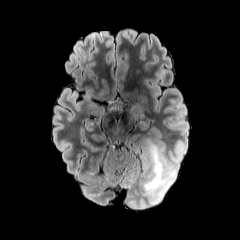
FLAIR MR.
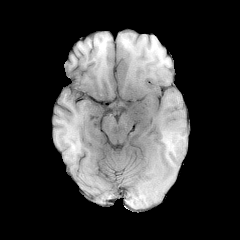
Same slice, T1-weighted MR image.
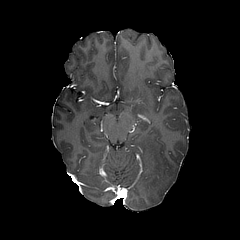
Post-contrast T1-weighted MRI of the same slice.
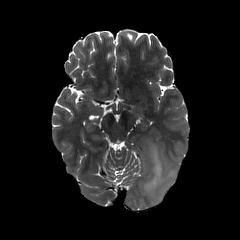
T2-weighted magnetic resonance of the same slice.
Head, Axial plane
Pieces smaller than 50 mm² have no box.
Segmented structures:
- peritumoral edema: <box>142,139,177,204</box>